Brain | Image width 240 mm
FLAIR MR image.
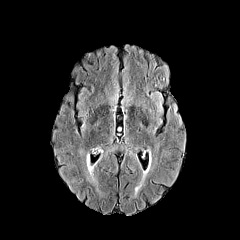
T1-weighted MR image.
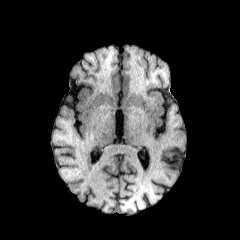
Post-contrast T1-weighted magnetic resonance.
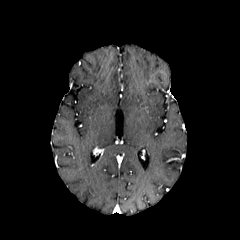
T2-weighted MR.
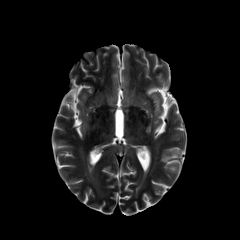
The peritumoral edema lies within x1=86, y1=163, x2=93, y2=176.